Head | 240x240
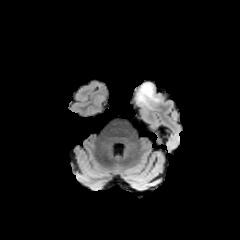
FLAIR MRI.
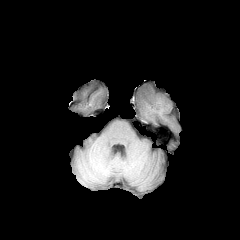
T1-weighted MR.
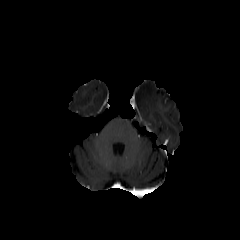
Post-contrast T1-weighted MR of the same slice.
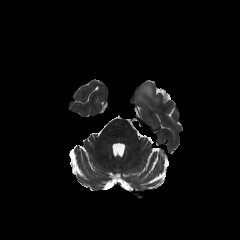
T2-weighted MRI.
{
  "peritumoral_edema": [
    "<box>135,82,157,105</box>"
  ]
}